Axial view, Image width 240 mm, Brain
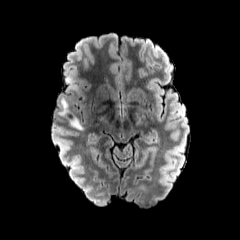
FLAIR MR image.
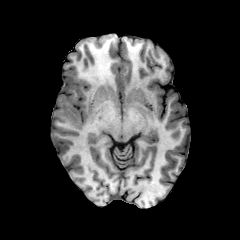
T1-weighted magnetic resonance.
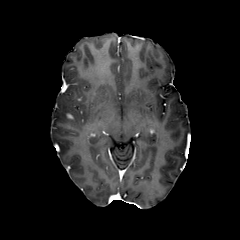
Post-contrast T1-weighted magnetic resonance.
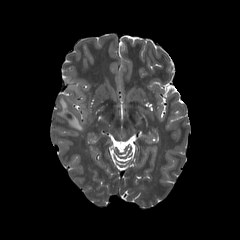
Same slice, T2-weighted MRI.
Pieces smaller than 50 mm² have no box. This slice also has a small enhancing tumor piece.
3 peritumoral edema regions are located at x1=59, y1=99, x2=68, y2=115; x1=65, y1=76, x2=75, y2=88; x1=70, y1=117, x2=82, y2=129.